Slice index 52.
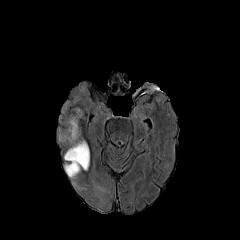
FLAIR MRI.
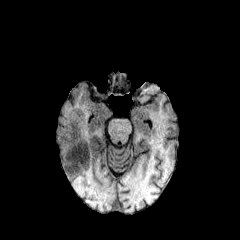
Same slice, T1-weighted MR.
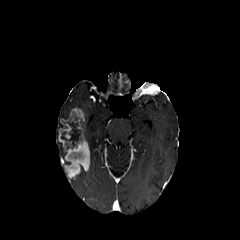
Same slice, post-contrast T1-weighted MR.
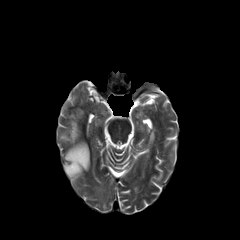
T2-weighted MRI.
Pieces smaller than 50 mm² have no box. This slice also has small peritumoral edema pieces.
enhancing_tumor:
  - x1=58, y1=108, x2=89, y2=178
necrotic_tumor_core:
  - x1=61, y1=121, x2=81, y2=148